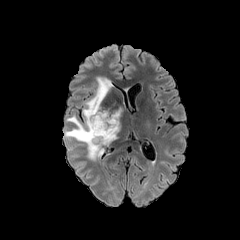
FLAIR MR.
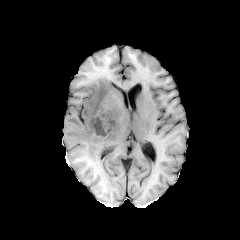
Same slice, T1-weighted MR image.
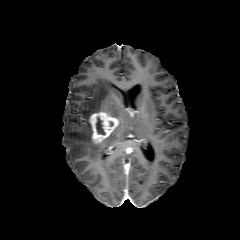
Post-contrast T1-weighted MRI.
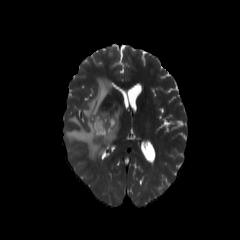
T2-weighted MR.
Brain | 240x240
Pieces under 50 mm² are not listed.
Annotated regions:
* peritumoral edema: box=[64, 77, 120, 161]; box=[110, 108, 121, 120]
* necrotic tumor core: box=[96, 117, 104, 134]
* enhancing tumor: box=[89, 111, 119, 143]